FLAIR MRI.
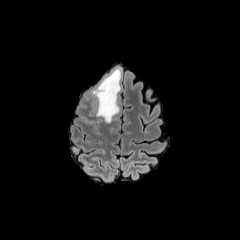
T1-weighted MRI.
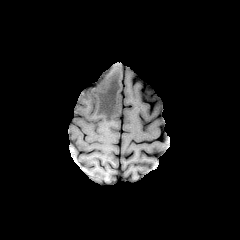
Post-contrast T1-weighted magnetic resonance.
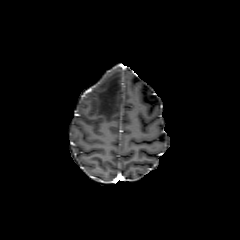
T2-weighted MR.
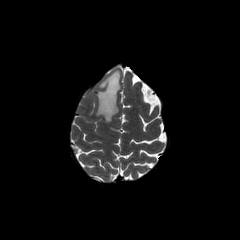
Axial slice.
peritumoral edema: [x1=92, y1=67, x2=121, y2=122]